FLAIR magnetic resonance.
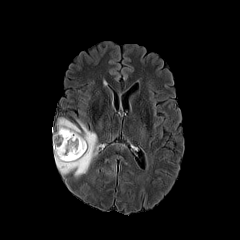
T1-weighted magnetic resonance.
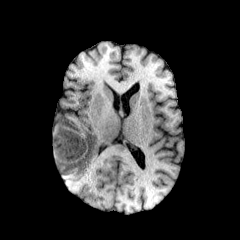
Post-contrast T1-weighted MR image.
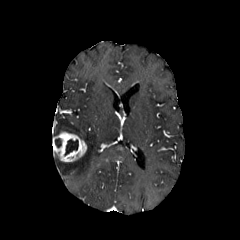
T2-weighted MR.
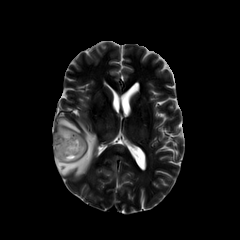
240x240
peritumoral edema = (53, 118, 97, 177)
enhancing tumor = (53, 131, 86, 162)
necrotic tumor core = (64, 139, 78, 155), (55, 138, 61, 147)